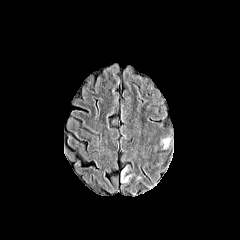
FLAIR MR image.
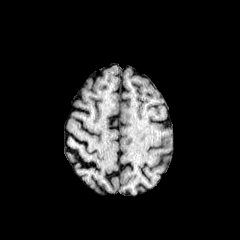
T1-weighted MR.
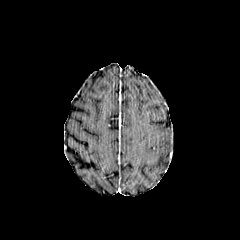
Post-contrast T1-weighted MR.
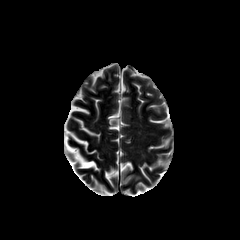
T2-weighted MRI of the same slice.
Brain. Image size 240x240.
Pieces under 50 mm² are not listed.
Findings:
* peritumoral edema: (left=121, top=165, right=131, bottom=182), (left=162, top=138, right=170, bottom=147)